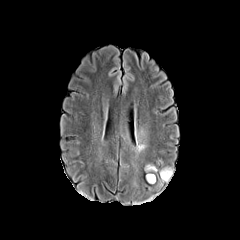
FLAIR MR image.
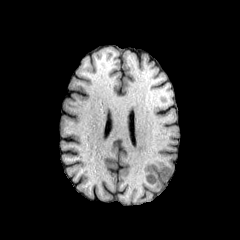
T1-weighted MR image.
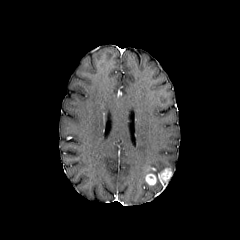
Same slice, post-contrast T1-weighted MR image.
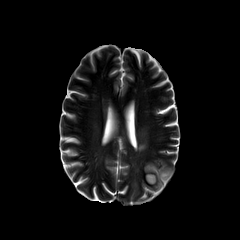
T2-weighted MR.
Head; Axial view; 240x240
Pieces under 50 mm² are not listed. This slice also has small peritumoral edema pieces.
The 2 largest enhancing tumor regions are bounded by (145,172,156,184), (160,168,172,182).